Axial plane, Slice 120 of 155, 240x240
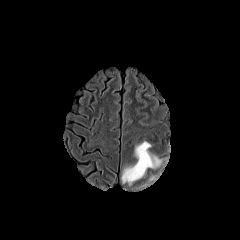
FLAIR MRI.
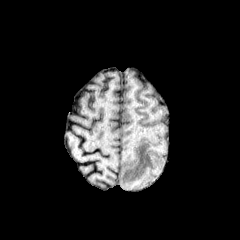
Same slice, T1-weighted MR image.
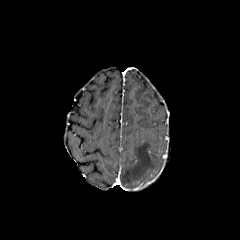
Same slice, post-contrast T1-weighted magnetic resonance.
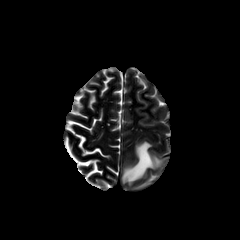
T2-weighted MR image of the same slice.
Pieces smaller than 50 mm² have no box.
peritumoral edema: box(121, 141, 161, 184)